240x240.
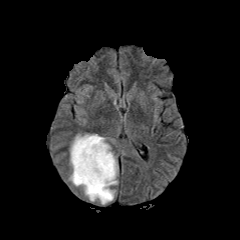
FLAIR MR.
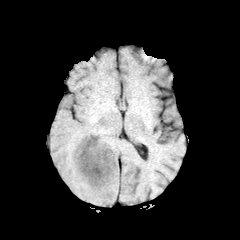
T1-weighted magnetic resonance.
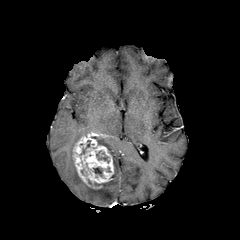
Post-contrast T1-weighted MRI of the same slice.
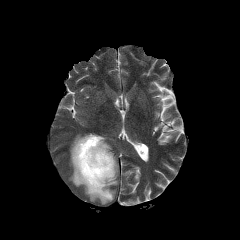
Same slice, T2-weighted MR image.
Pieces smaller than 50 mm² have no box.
peritumoral edema at x1=69, y1=134, x2=118, y2=204
necrotic tumor core at x1=93, y1=167, x2=102, y2=176
enhancing tumor at x1=72, y1=133, x2=114, y2=188